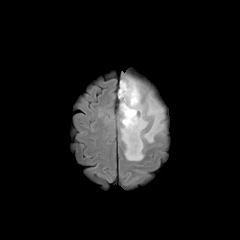
FLAIR MRI.
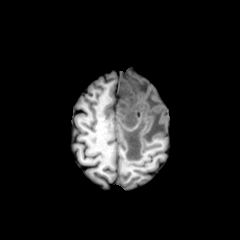
T1-weighted MR image.
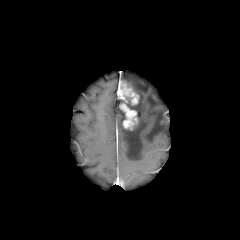
Same slice, post-contrast T1-weighted MR.
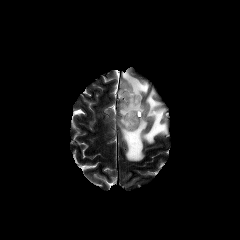
T2-weighted MRI of the same slice.
Image size 240x240, Axial plane, Head
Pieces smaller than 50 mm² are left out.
enhancing tumor: 117:81:139:129
peritumoral edema: 119:74:165:161